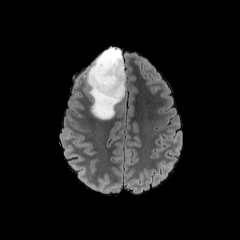
FLAIR MR image.
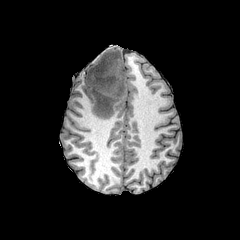
Same slice, T1-weighted MRI.
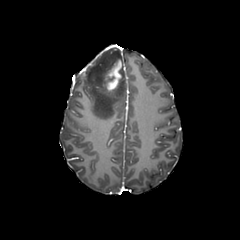
Post-contrast T1-weighted MR image.
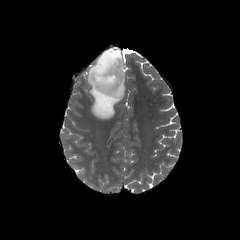
Same slice, T2-weighted MR.
Head; Axial view
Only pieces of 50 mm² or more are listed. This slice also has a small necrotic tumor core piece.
<segmentation>
  <enhancing_tumor>(104, 60, 122, 91)</enhancing_tumor>
  <peritumoral_edema>(86, 47, 125, 119)</peritumoral_edema>
</segmentation>